Brain. Slice 104/155.
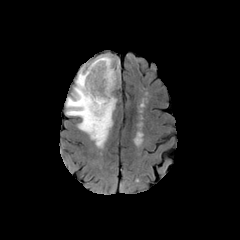
FLAIR MRI.
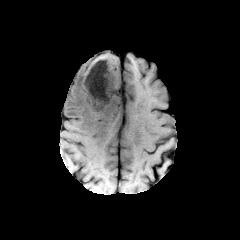
T1-weighted MRI.
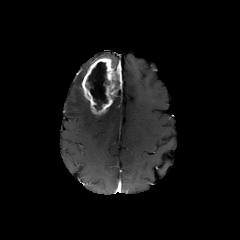
Post-contrast T1-weighted MR.
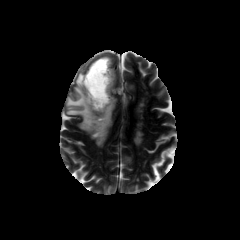
Same slice, T2-weighted MR.
The enhancing tumor is bounded by x1=81 y1=57 x2=121 y2=115. The peritumoral edema is located at x1=65 y1=53 x2=119 y2=148. The necrotic tumor core appears at x1=87 y1=62 x2=107 y2=109.